FLAIR magnetic resonance.
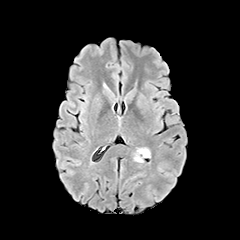
T1-weighted MR.
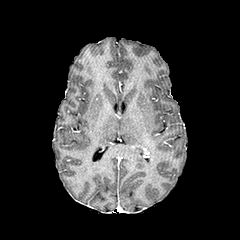
Post-contrast T1-weighted MRI.
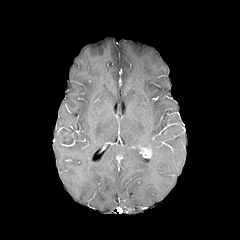
T2-weighted MRI.
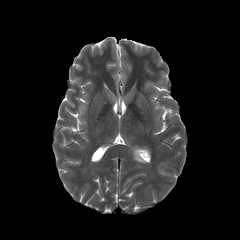
Axial plane.
<segmentation>
  <peritumoral_edema>x1=134 y1=148 x2=144 y2=162</peritumoral_edema>
  <enhancing_tumor>x1=140 y1=148 x2=150 y2=157</enhancing_tumor>
</segmentation>